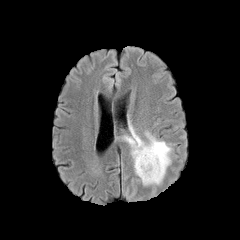
FLAIR MR image.
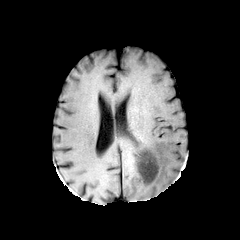
T1-weighted MR image.
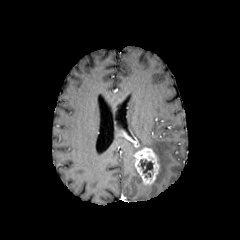
Post-contrast T1-weighted MR image.
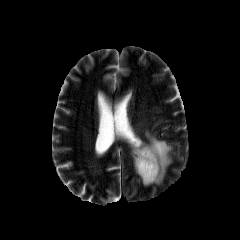
T2-weighted MR image of the same slice.
Head
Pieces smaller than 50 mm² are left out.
necrotic tumor core: box(140, 159, 152, 177) | enhancing tumor: box(134, 147, 159, 184); box(121, 130, 139, 147) | peritumoral edema: box(124, 127, 172, 184)